Image width 240 mm, Brain
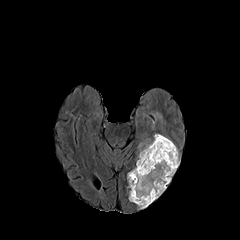
FLAIR MR image.
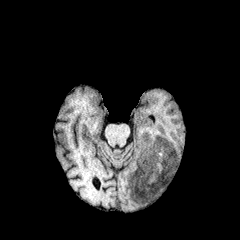
Same slice, T1-weighted MR.
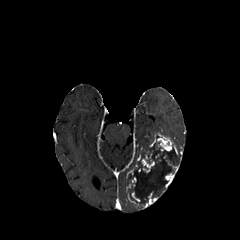
Post-contrast T1-weighted MRI.
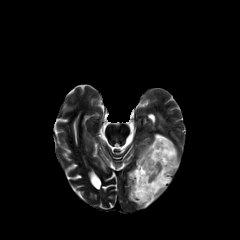
Same slice, T2-weighted MR.
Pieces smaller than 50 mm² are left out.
The 5 largest enhancing tumor regions appear at 142:192:158:208, 149:133:178:154, 127:177:136:188, 141:151:154:172, 165:160:179:188. The largest peritumoral edema region lies within 138:139:152:156. The largest necrotic tumor core region is at 127:142:179:208.